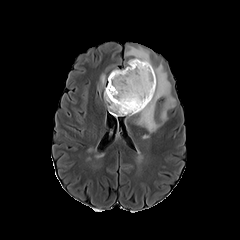
FLAIR magnetic resonance.
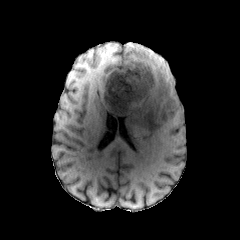
T1-weighted MRI.
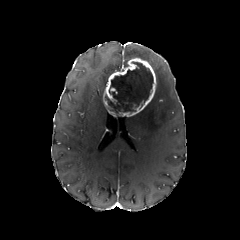
Post-contrast T1-weighted magnetic resonance.
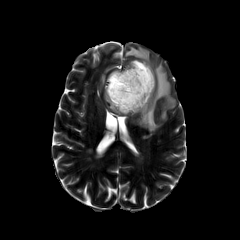
T2-weighted MRI.
Axial view.
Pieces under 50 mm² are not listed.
enhancing tumor: region(104, 58, 156, 116) | necrotic tumor core: region(106, 62, 153, 115) | peritumoral edema: region(127, 48, 150, 64); region(134, 65, 175, 132)